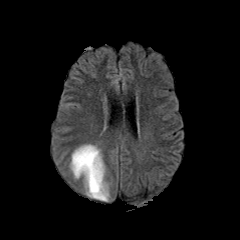
FLAIR magnetic resonance.
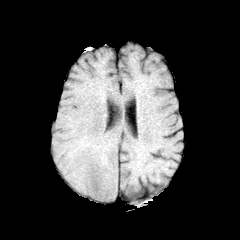
T1-weighted MRI of the same slice.
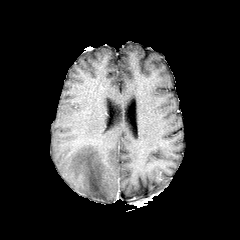
Post-contrast T1-weighted MR image.
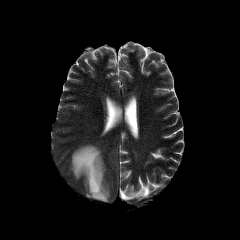
T2-weighted magnetic resonance.
peritumoral edema: [70,144,109,201]